FLAIR magnetic resonance.
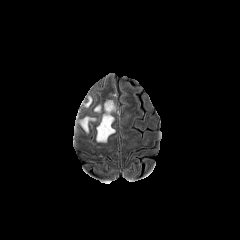
T1-weighted MR image.
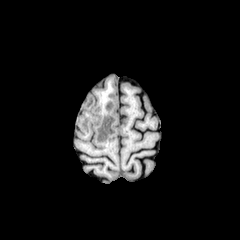
Post-contrast T1-weighted MRI.
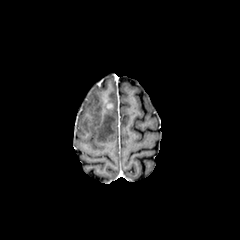
T2-weighted MR image.
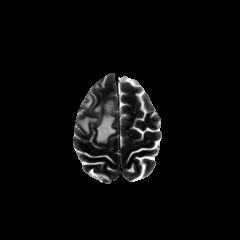
Axial view
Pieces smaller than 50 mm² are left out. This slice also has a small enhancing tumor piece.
peritumoral edema = {"x1": 84, "y1": 95, "x2": 92, "y2": 107}, {"x1": 79, "y1": 117, "x2": 96, "y2": 132}, {"x1": 96, "y1": 100, "x2": 115, "y2": 142}